Slice 117 of 155, Head, Image size 240x240, Axial plane, Image width 240 mm, 1.00 mm slice spacing
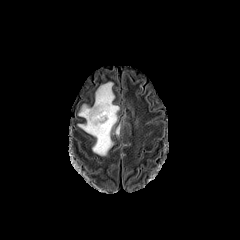
FLAIR magnetic resonance.
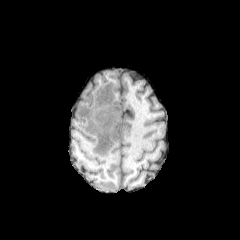
T1-weighted MR image of the same slice.
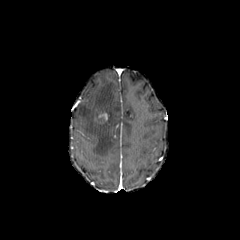
Post-contrast T1-weighted MRI.
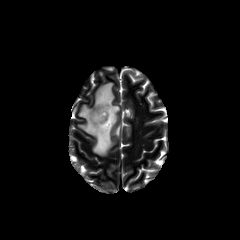
Same slice, T2-weighted MR.
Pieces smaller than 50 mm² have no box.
Findings:
• enhancing tumor: {"x1": 98, "y1": 112, "x2": 107, "y2": 119}
• peritumoral edema: {"x1": 78, "y1": 82, "x2": 119, "y2": 156}